FLAIR MR image.
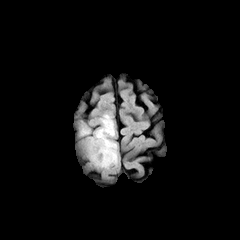
T1-weighted MR.
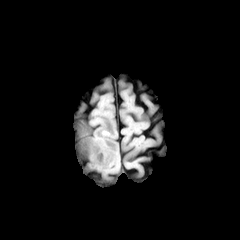
Post-contrast T1-weighted MR.
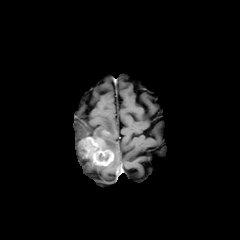
T2-weighted MR image.
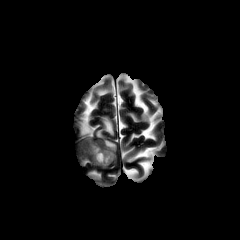
Image size 240x240 | Axial slice
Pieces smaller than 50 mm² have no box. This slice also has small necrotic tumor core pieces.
enhancing tumor — (81,137,113,165)
peritumoral edema — (80,122,91,135), (94,114,117,167)